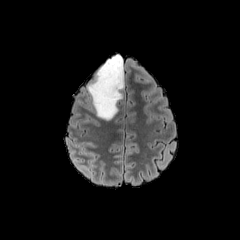
FLAIR MR.
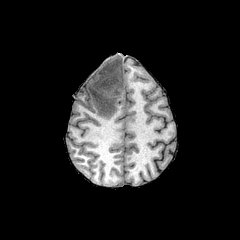
Same slice, T1-weighted MR image.
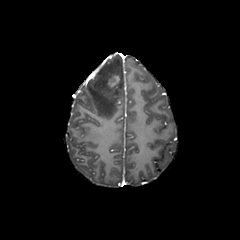
Post-contrast T1-weighted MR.
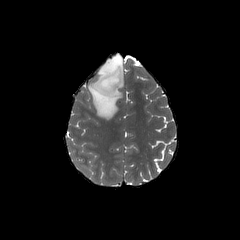
T2-weighted MR image of the same slice.
240x240 px. Head.
{
  "enhancing_tumor": [
    {"x1": 108, "y1": 75, "x2": 119, "y2": 86}
  ],
  "peritumoral_edema": [
    {"x1": 87, "y1": 54, "x2": 124, "y2": 120}
  ]
}